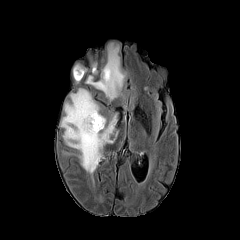
FLAIR MR image.
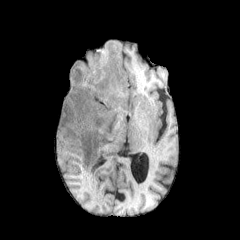
T1-weighted MRI of the same slice.
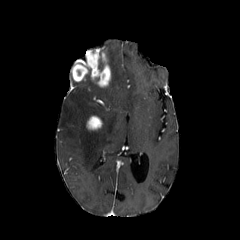
Post-contrast T1-weighted MR image.
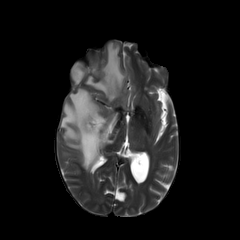
Same slice, T2-weighted MR.
Image size 240x240, Axial plane, Head
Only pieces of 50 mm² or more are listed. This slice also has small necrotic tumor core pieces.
Segmented structures:
- enhancing tumor: x1=86 y1=115 x2=102 y2=130, x1=76 y1=49 x2=110 y2=87, x1=71 y1=63 x2=88 y2=81
- peritumoral edema: x1=85 y1=43 x2=126 y2=101, x1=60 y1=88 x2=119 y2=173